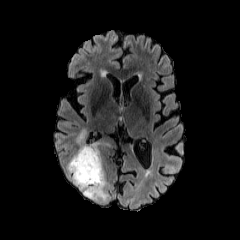
FLAIR MR.
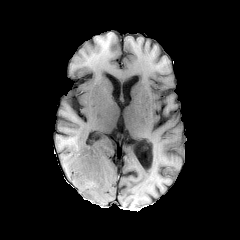
T1-weighted MR.
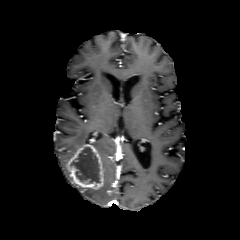
Post-contrast T1-weighted MR image of the same slice.
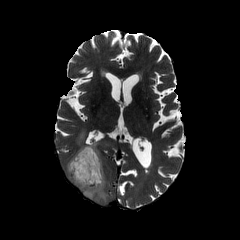
T2-weighted magnetic resonance.
Brain; Axial slice
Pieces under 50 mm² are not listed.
<segmentation>
  <peritumoral_edema>region(77, 130, 85, 143); region(66, 160, 109, 202)</peritumoral_edema>
  <necrotic_tumor_core>region(72, 147, 99, 183)</necrotic_tumor_core>
  <enhancing_tumor>region(69, 145, 103, 189)</enhancing_tumor>
</segmentation>